Image width 240 mm, Axial slice
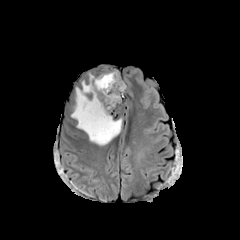
FLAIR MR.
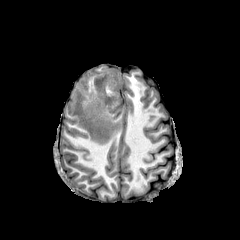
Same slice, T1-weighted MR.
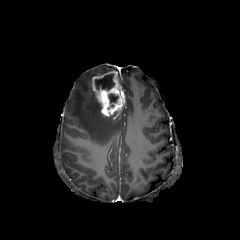
Same slice, post-contrast T1-weighted MR.
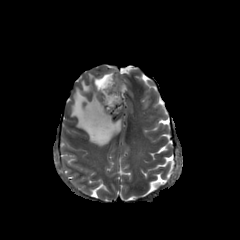
Same slice, T2-weighted magnetic resonance.
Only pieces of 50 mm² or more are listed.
enhancing tumor: rect(92, 71, 125, 116)
necrotic tumor core: rect(108, 93, 118, 103); rect(95, 73, 114, 90)
peritumoral edema: rect(71, 73, 122, 145)